Axial view | Brain
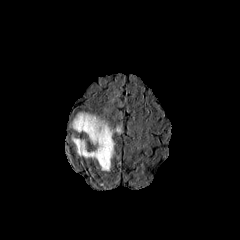
FLAIR MRI.
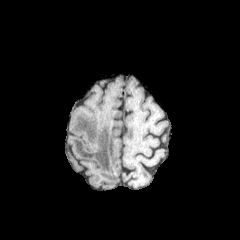
T1-weighted magnetic resonance of the same slice.
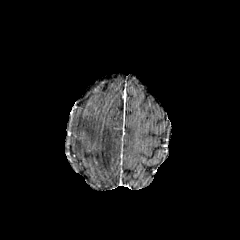
Post-contrast T1-weighted magnetic resonance.
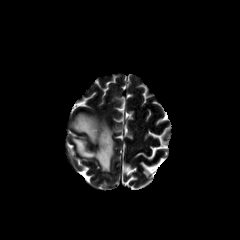
T2-weighted MRI.
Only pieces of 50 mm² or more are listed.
peritumoral_edema:
  - x1=70 y1=111 x2=123 y2=171